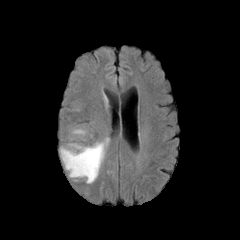
FLAIR MRI.
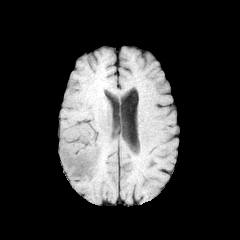
T1-weighted MR image of the same slice.
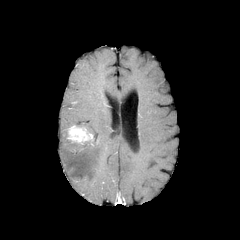
Post-contrast T1-weighted MR of the same slice.
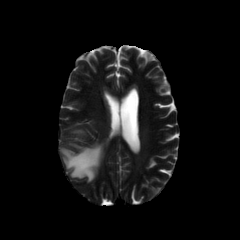
T2-weighted MR image.
Brain, Axial slice
enhancing tumor = bbox(69, 126, 92, 141)
peritumoral edema = bbox(60, 138, 109, 183)